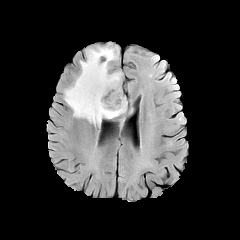
FLAIR magnetic resonance.
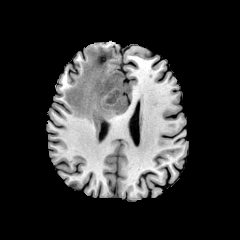
T1-weighted magnetic resonance of the same slice.
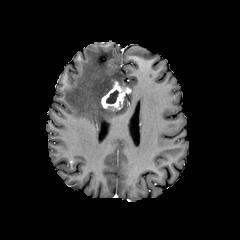
Same slice, post-contrast T1-weighted MR.
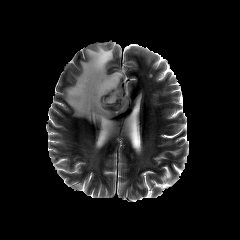
Same slice, T2-weighted MR.
240x240
necrotic tumor core: bounding box x1=106, y1=90, x2=118, y2=103
enhancing tumor: bounding box x1=101, y1=81, x2=130, y2=110
peritumoral edema: bounding box x1=64, y1=46, x2=126, y2=125